Image width 240 mm, Axial plane, 240x240
FLAIR magnetic resonance.
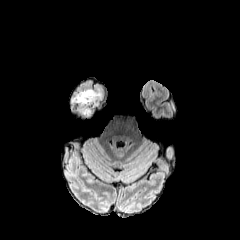
T1-weighted magnetic resonance.
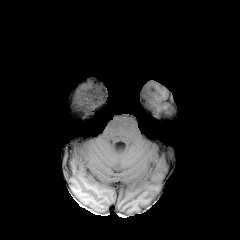
Post-contrast T1-weighted magnetic resonance.
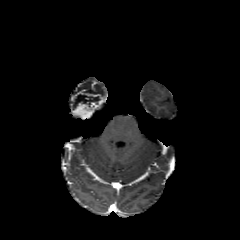
T2-weighted MR image.
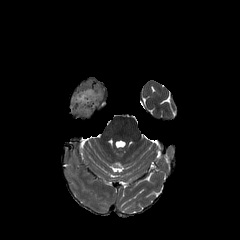
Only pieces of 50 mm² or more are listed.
The enhancing tumor is bounded by 73:91:102:118. The largest peritumoral edema region lies within 69:97:77:118. The necrotic tumor core is located at 76:94:98:105.